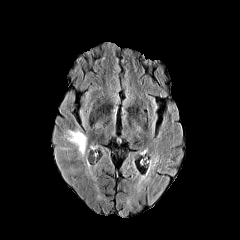
FLAIR MRI.
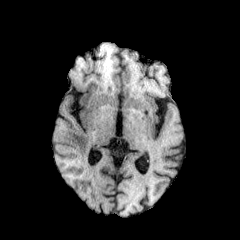
T1-weighted MR image.
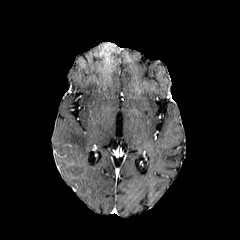
Post-contrast T1-weighted MR.
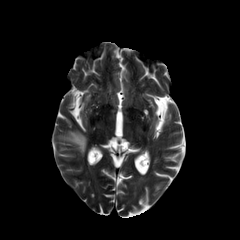
T2-weighted MR of the same slice.
Axial plane
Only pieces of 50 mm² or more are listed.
• peritumoral edema: box=[63, 130, 86, 155]